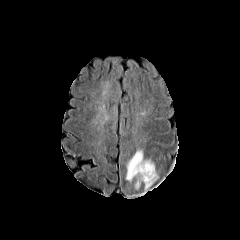
FLAIR MR image.
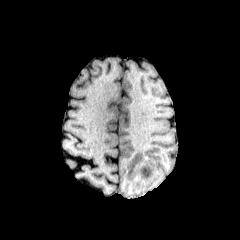
Same slice, T1-weighted MRI.
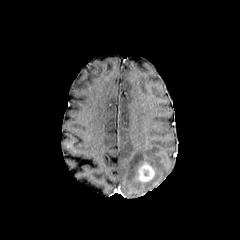
Post-contrast T1-weighted magnetic resonance of the same slice.
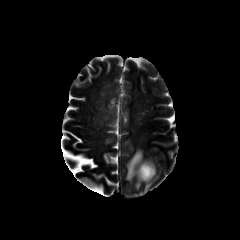
T2-weighted magnetic resonance of the same slice.
Brain | Axial view
2 peritumoral edema regions are located at x1=144, y1=173, x2=157, y2=191; x1=126, y1=150, x2=154, y2=188. The enhancing tumor lies within x1=137, y1=162, x2=155, y2=182.